FLAIR magnetic resonance.
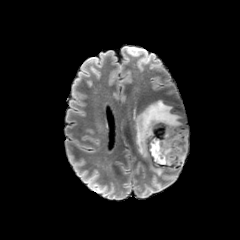
T1-weighted MR image.
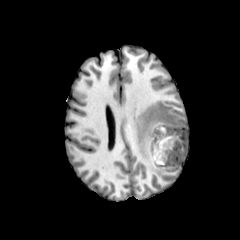
Post-contrast T1-weighted magnetic resonance.
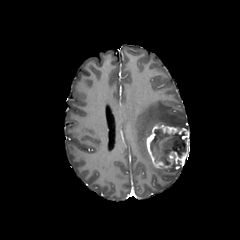
T2-weighted MR.
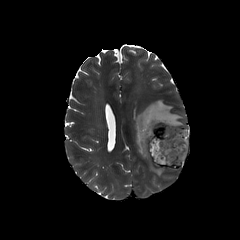
Brain; 240x240 px
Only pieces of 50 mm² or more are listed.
peritumoral edema: <bbox>150, 165, 164, 175</bbox>, <bbox>132, 99, 187, 157</bbox> | necrotic tumor core: <bbox>150, 128, 186, 166</bbox> | enhancing tumor: <bbox>146, 124, 189, 168</bbox>